Slice index 51. Axial plane.
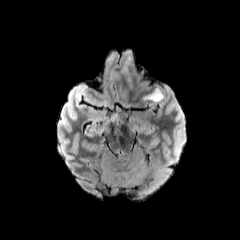
FLAIR MRI.
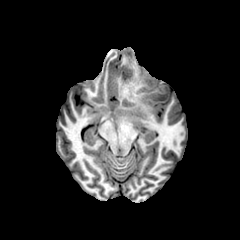
T1-weighted magnetic resonance of the same slice.
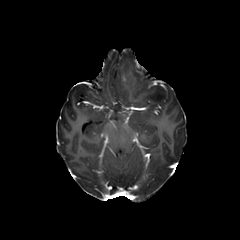
Post-contrast T1-weighted MR.
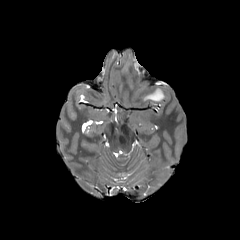
Same slice, T2-weighted MR image.
{
  "peritumoral_edema": [
    "(143,89,164,101)",
    "(123,52,131,73)"
  ]
}